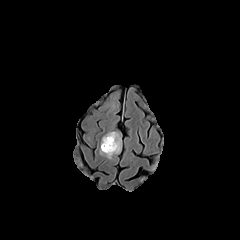
FLAIR MRI.
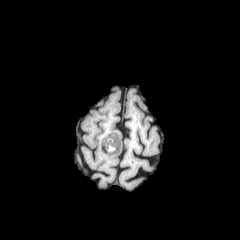
T1-weighted magnetic resonance of the same slice.
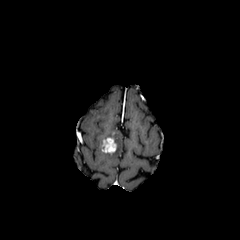
Same slice, post-contrast T1-weighted MRI.
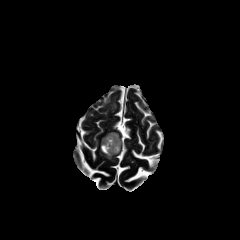
T2-weighted MR.
Axial plane. Image size 240x240.
The peritumoral edema lies within {"x1": 99, "y1": 131, "x2": 121, "y2": 159}. The enhancing tumor is at {"x1": 101, "y1": 137, "x2": 116, "y2": 154}.